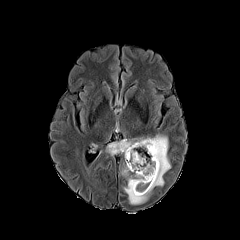
FLAIR MR image.
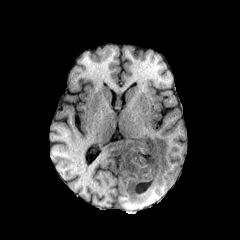
Same slice, T1-weighted MR.
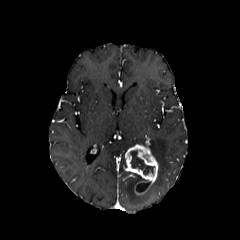
Post-contrast T1-weighted MRI.
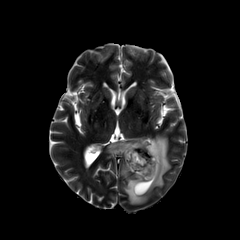
T2-weighted magnetic resonance.
Brain; 240x240
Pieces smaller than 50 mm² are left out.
peritumoral_edema:
  - x1=123 y1=135 x2=170 y2=204
  - x1=105 y1=138 x2=145 y2=157
necrotic_tumor_core:
  - x1=136 y1=182 x2=150 y2=192
  - x1=130 y1=151 x2=154 y2=174
enhancing_tumor:
  - x1=125 y1=138 x2=158 y2=194